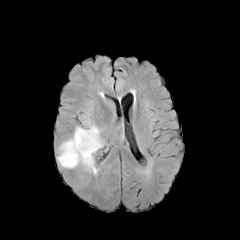
FLAIR MR image.
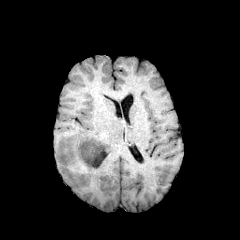
Same slice, T1-weighted magnetic resonance.
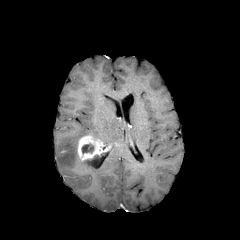
Post-contrast T1-weighted magnetic resonance of the same slice.
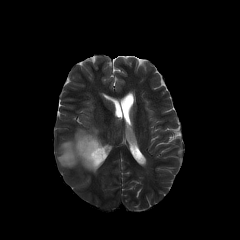
T2-weighted magnetic resonance.
<segmentation>
  <peritumoral_edema>box(57, 126, 102, 174)</peritumoral_edema>
  <necrotic_tumor_core>box(82, 144, 93, 153)</necrotic_tumor_core>
  <enhancing_tumor>box(77, 135, 101, 160)</enhancing_tumor>
</segmentation>